Head | Image width 240 mm, 1.00 mm slice spacing | Slice index 69
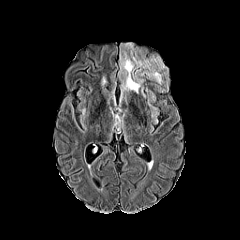
FLAIR MRI.
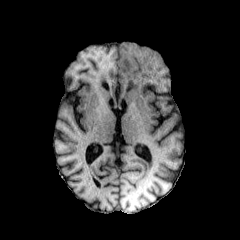
Same slice, T1-weighted magnetic resonance.
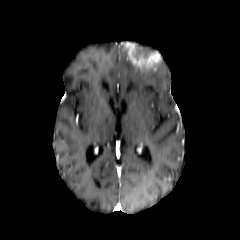
Post-contrast T1-weighted MR image of the same slice.
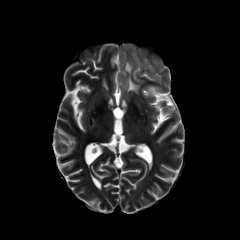
T2-weighted MR.
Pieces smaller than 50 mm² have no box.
peritumoral edema: <box>120,49,164,92</box> | enhancing tumor: <box>123,42,161,71</box>